FLAIR MR.
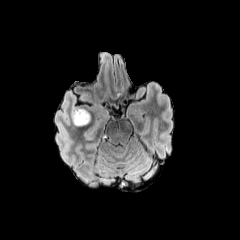
T1-weighted MR image.
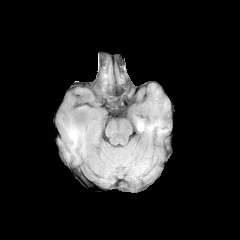
Post-contrast T1-weighted MR image.
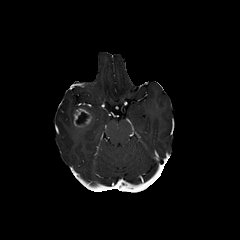
T2-weighted MR.
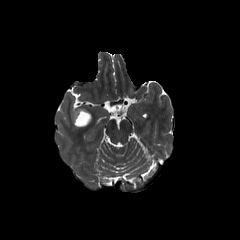
Brain
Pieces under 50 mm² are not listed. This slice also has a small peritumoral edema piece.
<segmentation>
  <necrotic_tumor_core>left=76, top=112, right=88, bottom=124</necrotic_tumor_core>
  <enhancing_tumor>left=73, top=108, right=91, bottom=127</enhancing_tumor>
</segmentation>